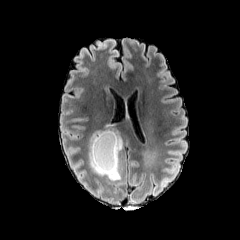
FLAIR magnetic resonance.
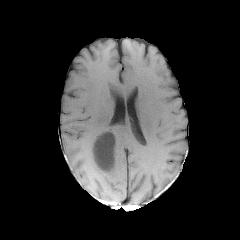
T1-weighted magnetic resonance.
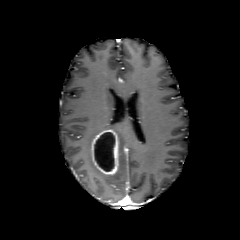
Post-contrast T1-weighted MR image.
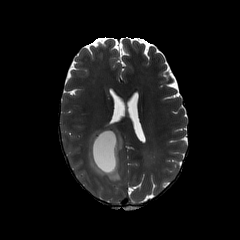
Same slice, T2-weighted MRI.
240x240 px, Axial slice, Head
{
  "peritumoral_edema": [
    "bbox(88, 126, 122, 181)"
  ],
  "necrotic_tumor_core": [
    "bbox(94, 132, 114, 171)"
  ],
  "enhancing_tumor": [
    "bbox(91, 129, 118, 175)"
  ]
}